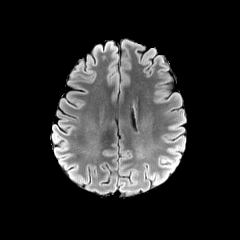
FLAIR MR.
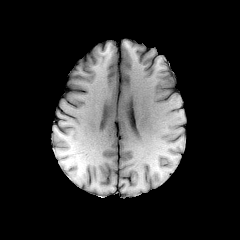
Same slice, T1-weighted MRI.
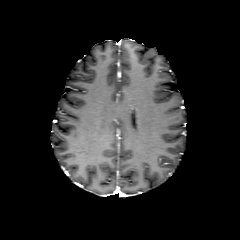
Post-contrast T1-weighted MRI of the same slice.
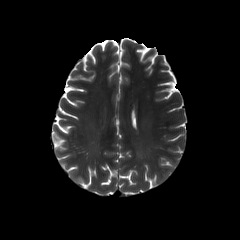
T2-weighted MR image.
Head; Axial plane; Image size 240x240
The peritumoral edema is located at l=161, t=158, r=173, b=168.